FLAIR MRI.
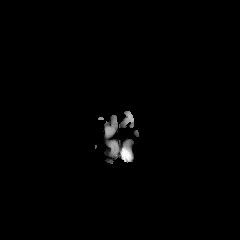
T1-weighted magnetic resonance.
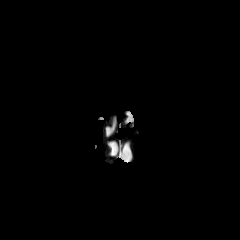
Post-contrast T1-weighted magnetic resonance.
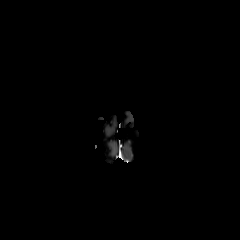
T2-weighted MRI.
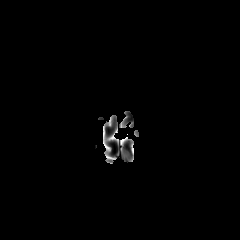
Brain.
<segmentation>
  <peritumoral_edema>{"x1": 121, "y1": 148, "x2": 131, "y2": 161}</peritumoral_edema>
</segmentation>